FLAIR magnetic resonance.
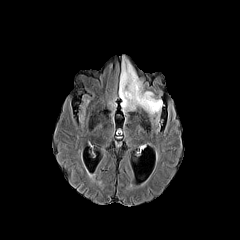
T1-weighted MR image.
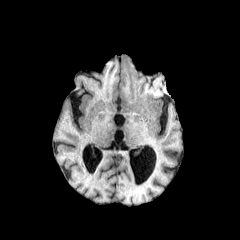
Post-contrast T1-weighted MRI.
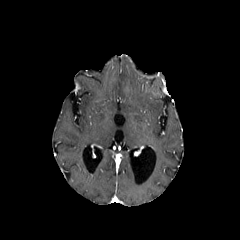
T2-weighted MR image.
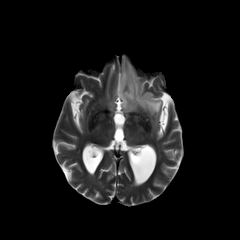
Brain | Axial slice
peritumoral edema — (119,56,162,123)